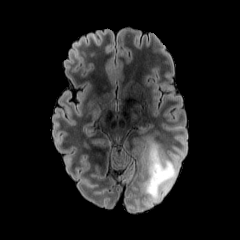
FLAIR MR.
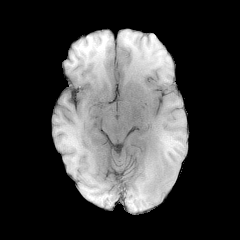
T1-weighted MRI of the same slice.
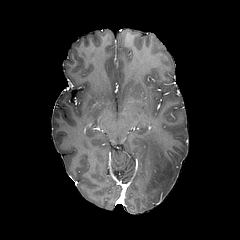
Post-contrast T1-weighted MR.
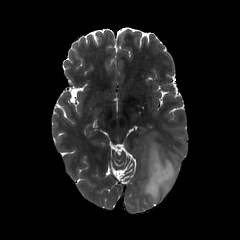
T2-weighted MR.
Axial slice | Image size 240x240 | Brain
peritumoral edema at x1=141, y1=136, x2=179, y2=206